Brain | Axial plane
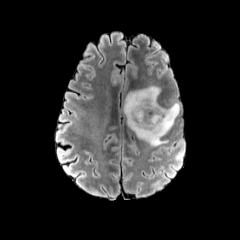
FLAIR magnetic resonance.
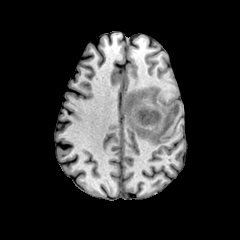
Same slice, T1-weighted MRI.
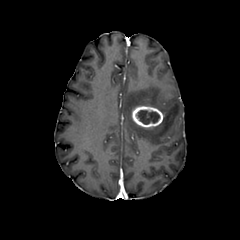
Post-contrast T1-weighted MR image of the same slice.
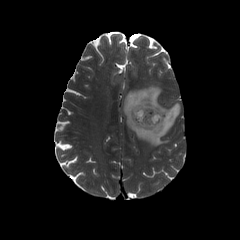
T2-weighted MR image of the same slice.
The enhancing tumor appears at region(131, 105, 163, 128). The necrotic tumor core lies within region(137, 110, 159, 124). The peritumoral edema is bounded by region(123, 85, 180, 146).